Image width 240 mm, Slice index 97, Brain
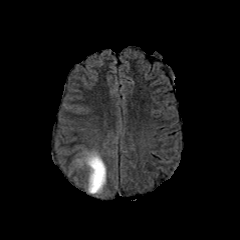
FLAIR MR image.
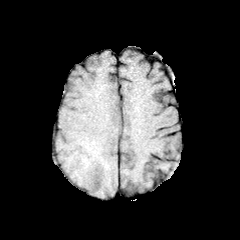
Same slice, T1-weighted magnetic resonance.
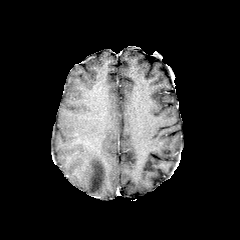
Post-contrast T1-weighted MR of the same slice.
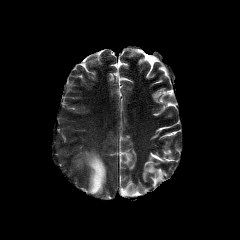
T2-weighted MR.
Annotated regions:
- peritumoral edema: bbox(77, 151, 106, 193)